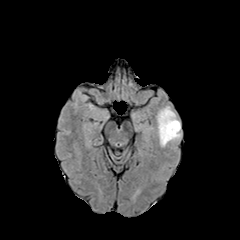
FLAIR MRI.
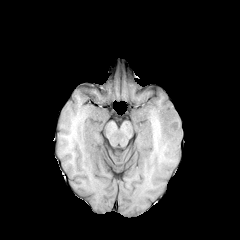
T1-weighted MR of the same slice.
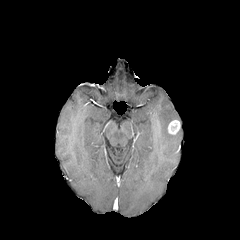
Same slice, post-contrast T1-weighted magnetic resonance.
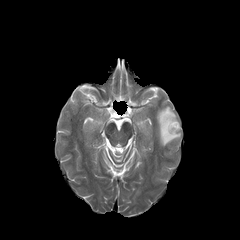
T2-weighted MRI of the same slice.
Axial view
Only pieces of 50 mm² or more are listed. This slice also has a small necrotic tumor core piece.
Findings:
* peritumoral edema: {"x1": 156, "y1": 106, "x2": 181, "y2": 146}
* enhancing tumor: {"x1": 167, "y1": 120, "x2": 180, "y2": 134}